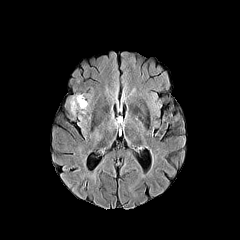
FLAIR MR.
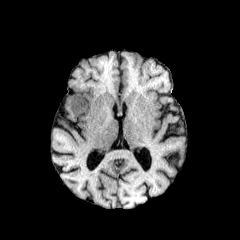
T1-weighted MR image of the same slice.
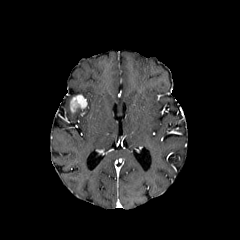
Post-contrast T1-weighted MR image of the same slice.
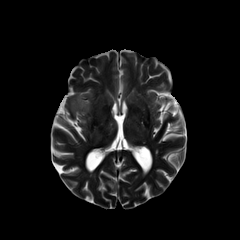
T2-weighted MR.
240x240, Axial slice
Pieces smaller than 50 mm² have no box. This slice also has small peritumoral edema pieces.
{"enhancing_tumor": ["left=70, top=94, right=87, bottom=113"]}